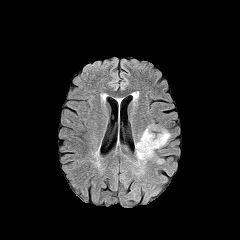
FLAIR MRI.
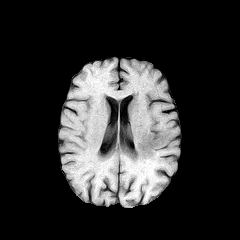
T1-weighted MR of the same slice.
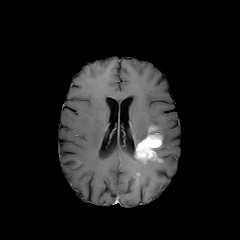
Same slice, post-contrast T1-weighted MR.
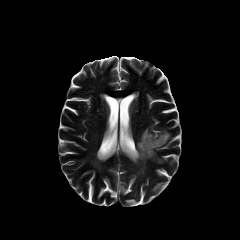
T2-weighted magnetic resonance.
Head, Image size 240x240
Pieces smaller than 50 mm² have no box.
enhancing_tumor:
  - (left=135, top=133, right=162, bottom=161)
peritumoral_edema:
  - (left=135, top=124, right=154, bottom=152)
  - (left=134, top=159, right=146, bottom=172)
  - (left=153, top=127, right=170, bottom=146)